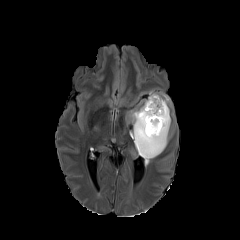
FLAIR MR image.
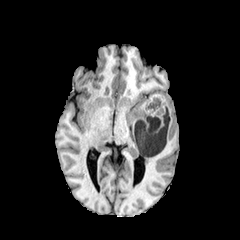
T1-weighted magnetic resonance.
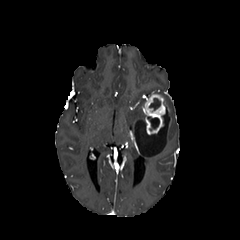
Post-contrast T1-weighted MR image of the same slice.
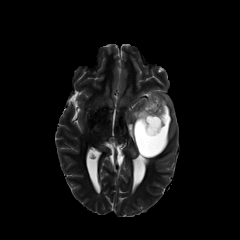
T2-weighted MR image of the same slice.
Axial plane | Head
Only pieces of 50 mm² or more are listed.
The enhancing tumor is located at 142 93 165 134. The 2 largest necrotic tumor core regions are bounded by 149 98 160 110, 147 117 159 128. The largest peritumoral edema region is at 126 90 172 165.